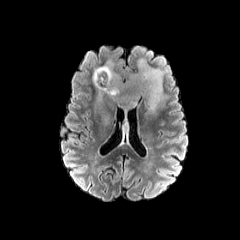
FLAIR MRI.
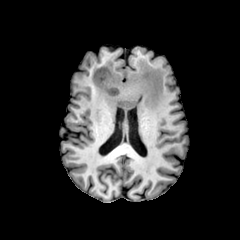
Same slice, T1-weighted MRI.
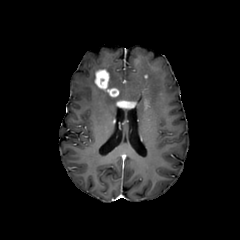
Post-contrast T1-weighted MR image.
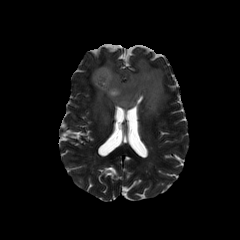
Same slice, T2-weighted MRI.
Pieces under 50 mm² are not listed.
enhancing_tumor:
  - 116 100 136 108
  - 94 69 119 97
peritumoral_edema:
  - 100 111 109 126
  - 97 87 110 101
  - 92 58 167 113